Axial view. Head.
FLAIR MRI.
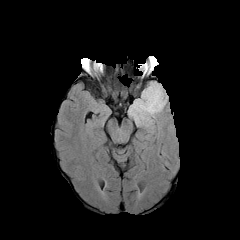
T1-weighted MR.
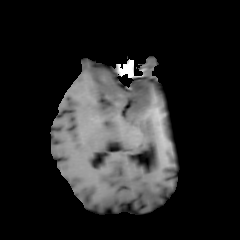
Post-contrast T1-weighted MR.
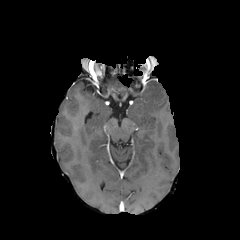
T2-weighted MRI.
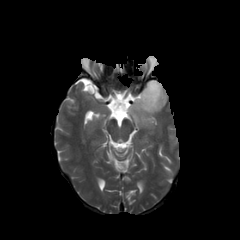
The peritumoral edema lies within box=[128, 81, 167, 128].